FLAIR MR image.
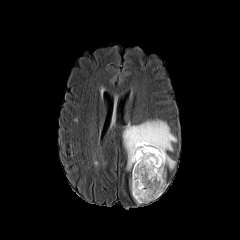
T1-weighted magnetic resonance.
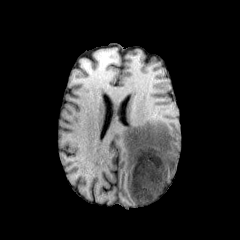
Post-contrast T1-weighted magnetic resonance.
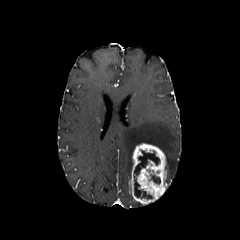
T2-weighted magnetic resonance.
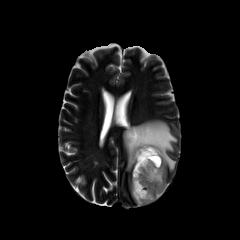
Brain; 240x240 px
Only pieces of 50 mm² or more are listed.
The enhancing tumor appears at [129, 143, 167, 204]. The largest peritumoral edema region is bounded by [123, 119, 177, 170]. 3 necrotic tumor core regions are bounded by [134, 150, 159, 175], [134, 176, 152, 198], [151, 175, 160, 183].